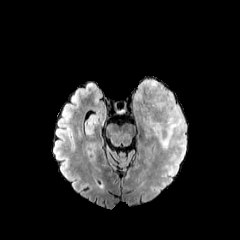
FLAIR magnetic resonance.
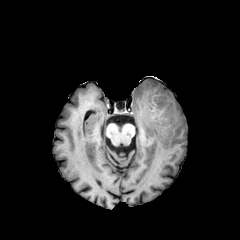
T1-weighted MR.
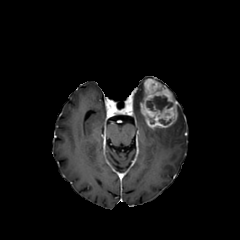
Post-contrast T1-weighted MR of the same slice.
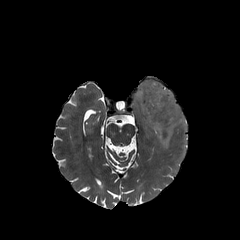
T2-weighted MR of the same slice.
240x240 | Head | Axial slice
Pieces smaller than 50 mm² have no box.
necrotic tumor core: left=146, top=96, right=173, bottom=111 | enhancing tumor: left=140, top=78, right=177, bottom=129 | peritumoral edema: left=153, top=106, right=185, bottom=149; left=135, top=82, right=144, bottom=107